Axial view | Head
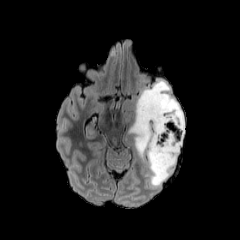
FLAIR magnetic resonance.
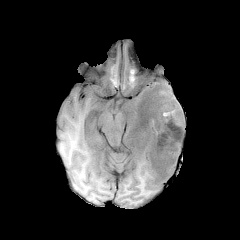
Same slice, T1-weighted MRI.
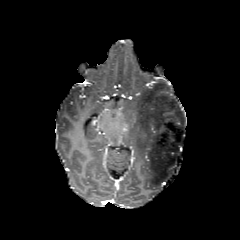
Post-contrast T1-weighted MRI of the same slice.
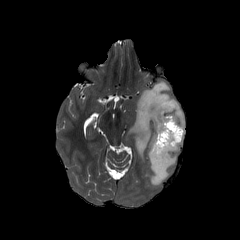
T2-weighted MR image.
peritumoral edema: x1=129, y1=80, x2=184, y2=186